FLAIR MRI.
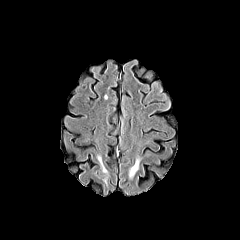
T1-weighted magnetic resonance.
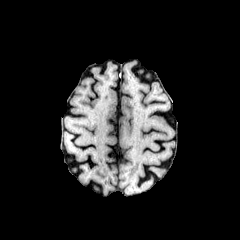
Post-contrast T1-weighted MR image.
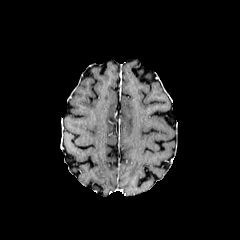
T2-weighted MR.
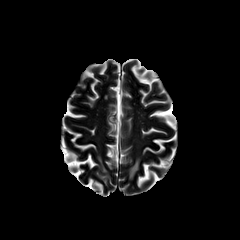
Image size 240x240
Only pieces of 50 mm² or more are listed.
peritumoral edema: {"x1": 97, "y1": 155, "x2": 107, "y2": 173}, {"x1": 129, "y1": 159, "x2": 139, "y2": 178}